FLAIR magnetic resonance.
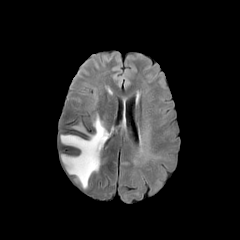
T1-weighted MR image.
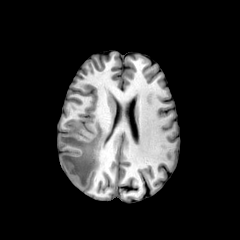
Post-contrast T1-weighted MRI.
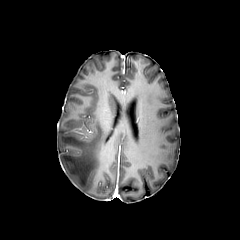
T2-weighted MRI.
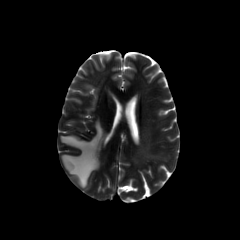
peritumoral edema: bbox=[60, 117, 109, 188]